FLAIR MR image.
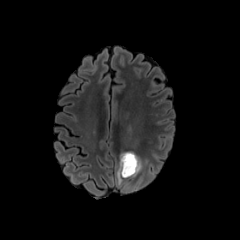
T1-weighted MR.
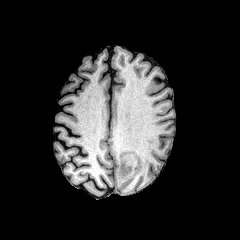
Post-contrast T1-weighted MRI.
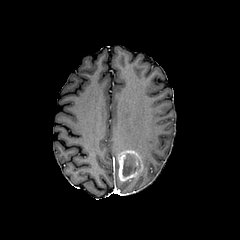
T2-weighted MRI.
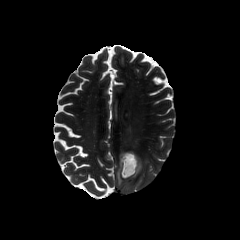
Axial slice
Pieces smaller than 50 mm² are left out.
The enhancing tumor is bounded by x1=118, y1=151, x2=142, y2=181. The largest peritumoral edema region appears at x1=116, y1=163, x2=127, y2=186. The necrotic tumor core is bounded by x1=122, y1=154, x2=135, y2=176.